FLAIR magnetic resonance.
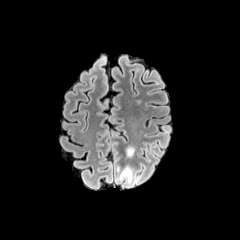
T1-weighted MR image.
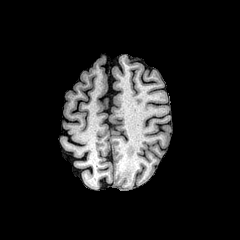
Post-contrast T1-weighted magnetic resonance.
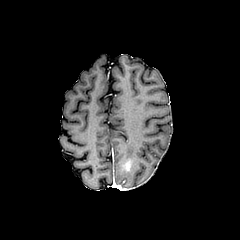
T2-weighted MR image.
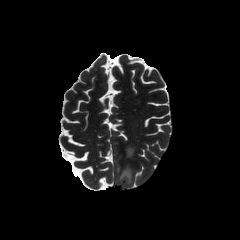
Head.
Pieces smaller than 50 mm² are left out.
The largest peritumoral edema region appears at (left=118, top=168, right=132, bottom=183). The enhancing tumor lies within (left=123, top=163, right=130, bottom=172).